FLAIR magnetic resonance.
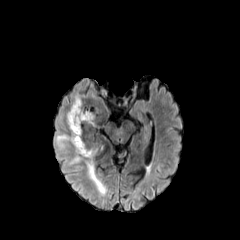
T1-weighted MR image.
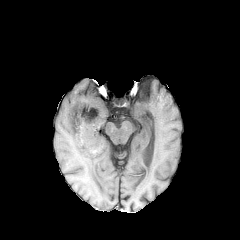
Post-contrast T1-weighted magnetic resonance.
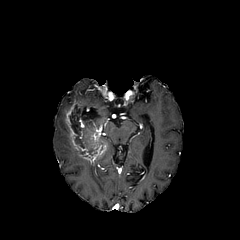
T2-weighted MR image.
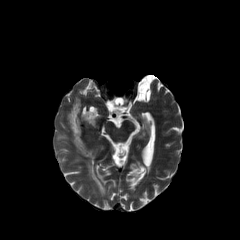
Axial view
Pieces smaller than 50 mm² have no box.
enhancing tumor at bbox(64, 97, 108, 163)
necrotic tumor core at bbox(69, 104, 98, 155)
peritumoral edema at bbox(56, 134, 69, 147); bbox(68, 151, 105, 195)